Head | Slice 63 of 155
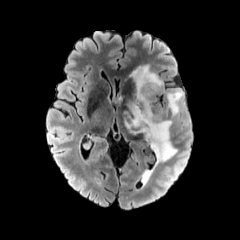
FLAIR MR.
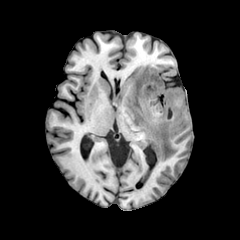
T1-weighted MRI of the same slice.
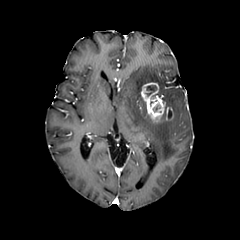
Post-contrast T1-weighted magnetic resonance.
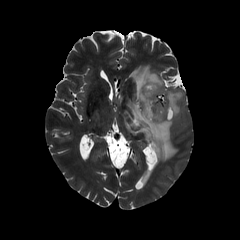
T2-weighted MRI.
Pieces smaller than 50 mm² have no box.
The 2 largest peritumoral edema regions are located at region(167, 89, 183, 115); region(125, 65, 177, 164). The enhancing tumor is at region(141, 82, 173, 122). The largest necrotic tumor core region lies within region(146, 85, 156, 95).